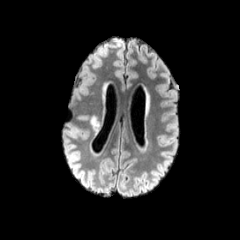
FLAIR MRI.
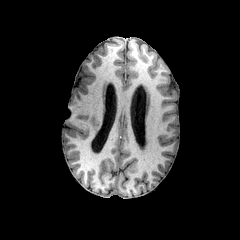
Same slice, T1-weighted MR.
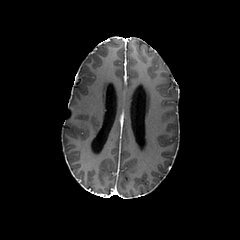
Same slice, post-contrast T1-weighted MR.
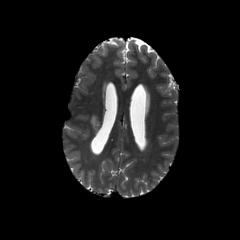
T2-weighted MRI.
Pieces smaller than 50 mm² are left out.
The largest peritumoral edema region is bounded by rect(91, 116, 99, 132).